240x240, Slice index 80, Image width 240 mm, 1.00 mm slice spacing
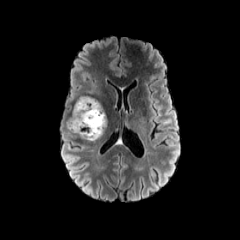
FLAIR magnetic resonance.
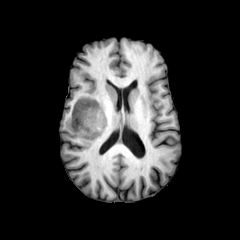
T1-weighted MR image.
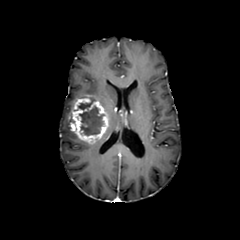
Post-contrast T1-weighted MR image of the same slice.
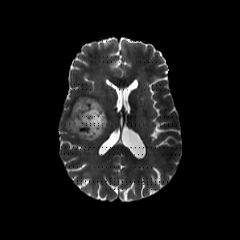
T2-weighted MR image.
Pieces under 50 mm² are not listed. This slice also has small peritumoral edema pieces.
enhancing_tumor:
  - (69,96,108,143)
necrotic_tumor_core:
  - (78,101,92,109)
  - (79,106,103,135)